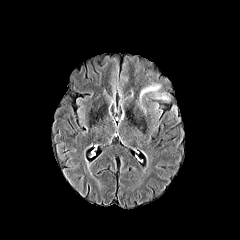
FLAIR MR image.
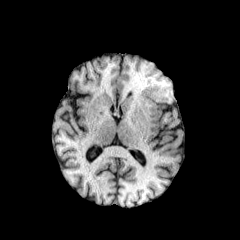
T1-weighted MR.
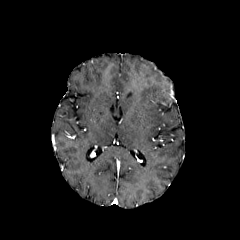
Post-contrast T1-weighted magnetic resonance.
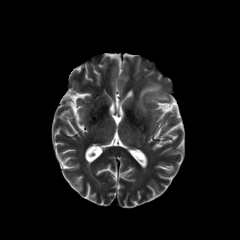
T2-weighted MRI.
Head
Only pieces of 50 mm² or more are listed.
* peritumoral edema: bbox(139, 84, 160, 98)